FLAIR magnetic resonance.
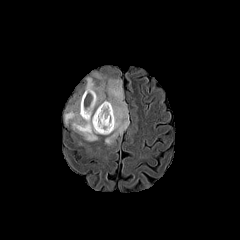
T1-weighted MRI.
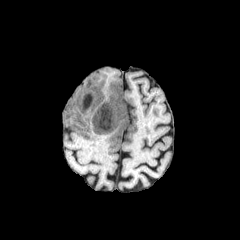
Post-contrast T1-weighted magnetic resonance.
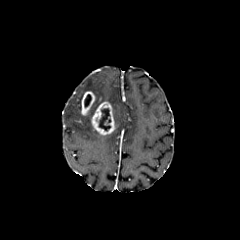
T2-weighted MRI.
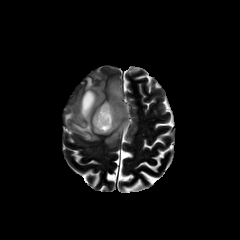
Axial plane, Head
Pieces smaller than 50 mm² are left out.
The peritumoral edema is bounded by <bbox>64, 71, 129, 144</bbox>. The 2 largest necrotic tumor core regions are located at <bbox>84, 94, 91, 107</bbox>, <bbox>99, 108, 110, 130</bbox>. 2 enhancing tumor regions are bounded by <bbox>91, 101, 115, 135</bbox>, <bbox>81, 91, 95, 116</bbox>.